FLAIR MR image.
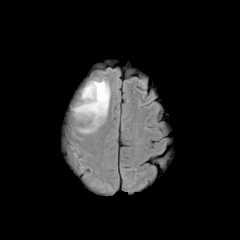
T1-weighted MR.
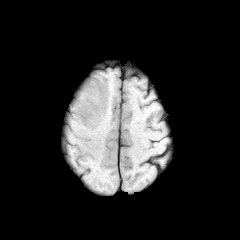
Post-contrast T1-weighted magnetic resonance.
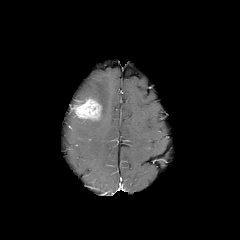
T2-weighted MRI.
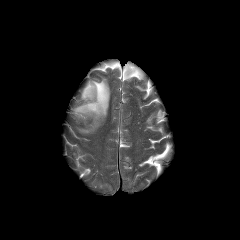
Axial plane.
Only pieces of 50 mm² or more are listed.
enhancing_tumor:
  - x1=74 y1=98 x2=101 y2=119
peritumoral_edema:
  - x1=76 y1=79 x2=110 y2=133